Slice 62 of 155
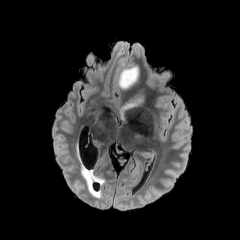
FLAIR MRI.
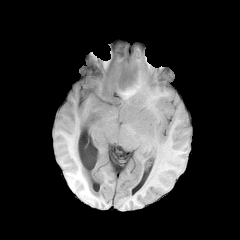
Same slice, T1-weighted MRI.
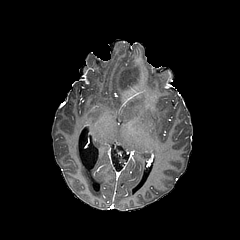
Same slice, post-contrast T1-weighted MR.
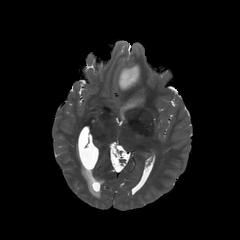
T2-weighted magnetic resonance of the same slice.
The necrotic tumor core is bounded by box(122, 71, 136, 83). 2 peritumoral edema regions are bounded by box(120, 99, 142, 118); box(118, 64, 140, 88).